Brain. Slice index 86.
FLAIR MR.
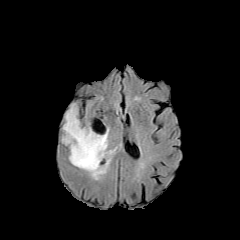
T1-weighted MRI.
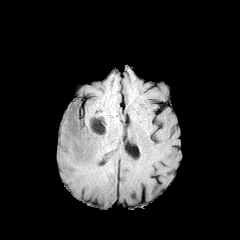
Post-contrast T1-weighted MR.
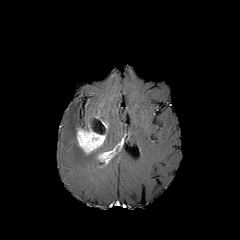
T2-weighted MR.
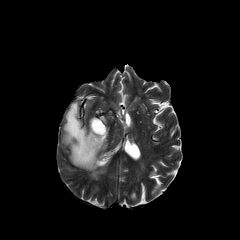
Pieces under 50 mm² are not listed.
necrotic tumor core: bbox(90, 118, 105, 134)
enhancing tumor: bbox(97, 149, 115, 164); bbox(76, 119, 107, 154)
peritumoral edema: bbox(62, 103, 111, 179)